Slice 66 of 155
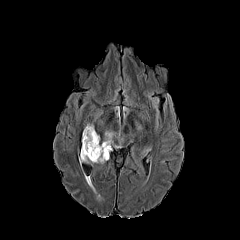
FLAIR MR.
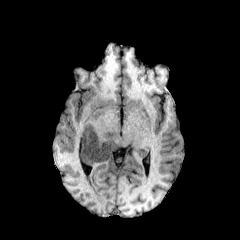
Same slice, T1-weighted MR.
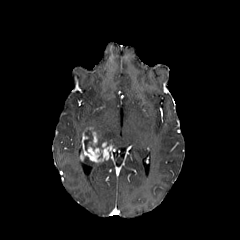
Same slice, post-contrast T1-weighted MRI.
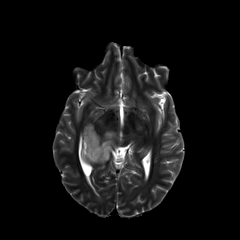
Same slice, T2-weighted MRI.
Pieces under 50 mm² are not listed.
Findings:
• necrotic tumor core: 84,130,95,150
• peritumoral edema: 104,131,115,145
• enhancing tumor: 80,127,112,162